Image size 240x240
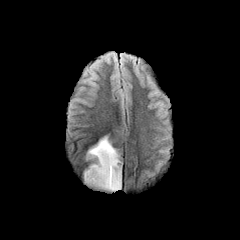
FLAIR MR image.
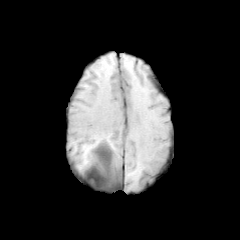
T1-weighted MR.
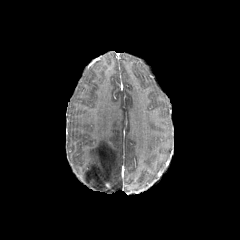
Post-contrast T1-weighted magnetic resonance.
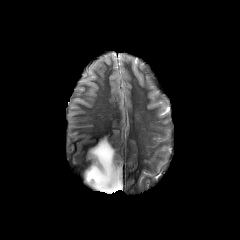
T2-weighted MR of the same slice.
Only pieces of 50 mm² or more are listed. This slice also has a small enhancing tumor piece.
<segmentation>
  <peritumoral_edema>[84,136,121,191]</peritumoral_edema>
</segmentation>